FLAIR MRI.
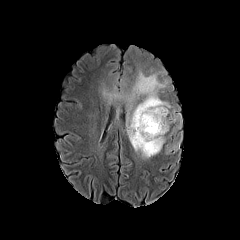
T1-weighted MRI.
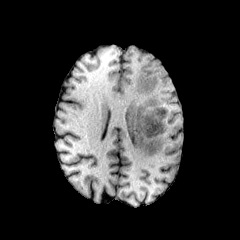
Post-contrast T1-weighted MR.
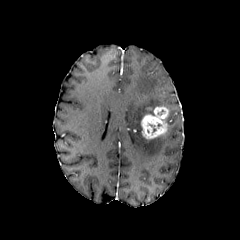
T2-weighted MRI.
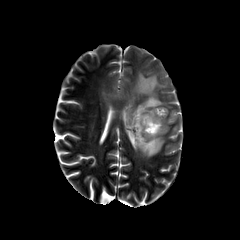
Brain.
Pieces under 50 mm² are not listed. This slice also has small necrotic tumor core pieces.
- enhancing tumor: (141, 106, 168, 139)
- peritumoral edema: (127, 72, 170, 157)